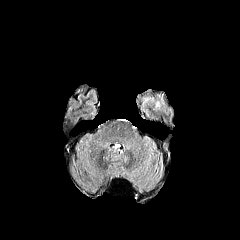
FLAIR MR.
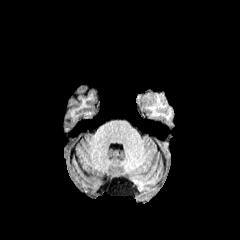
T1-weighted MRI of the same slice.
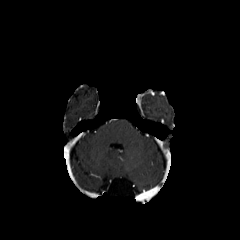
Post-contrast T1-weighted MR.
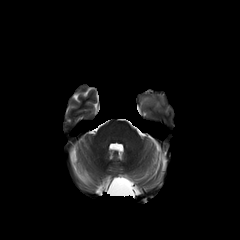
T2-weighted MRI.
Image size 240x240
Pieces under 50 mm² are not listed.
The largest peritumoral edema region is bounded by [x1=142, y1=97, x2=154, y2=104].